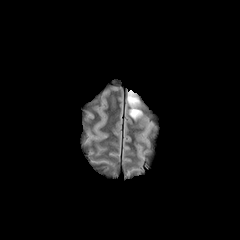
FLAIR MRI.
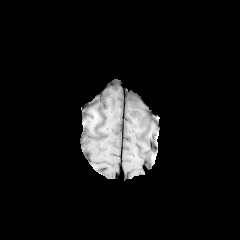
T1-weighted MR.
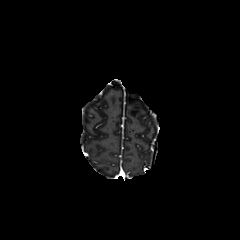
Same slice, post-contrast T1-weighted MR.
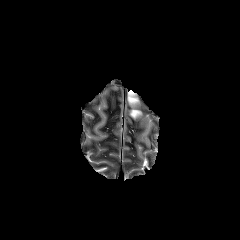
T2-weighted MRI.
Head, 240x240
The peritumoral edema is located at 128,90,141,118.